Axial view; Head; Slice 84/155
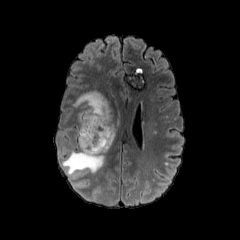
FLAIR MR image.
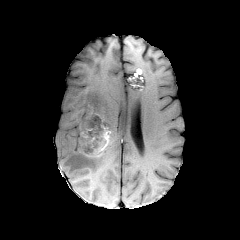
T1-weighted magnetic resonance.
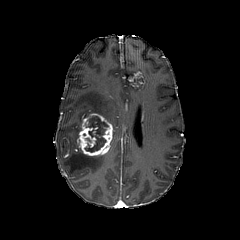
Post-contrast T1-weighted MRI.
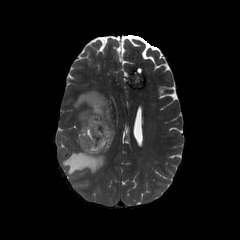
T2-weighted MRI of the same slice.
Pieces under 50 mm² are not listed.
The largest necrotic tumor core region appears at [x1=85, y1=116, x2=108, y2=152]. The largest enhancing tumor region lies within [x1=77, y1=113, x2=113, y2=155]. 2 peritumoral edema regions are located at [x1=73, y1=91, x2=121, y2=145], [x1=62, y1=150, x2=104, y2=175].